FLAIR magnetic resonance.
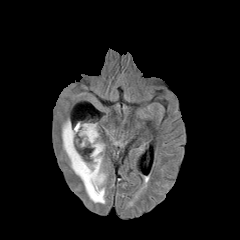
T1-weighted MR.
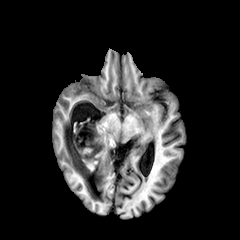
Post-contrast T1-weighted MR.
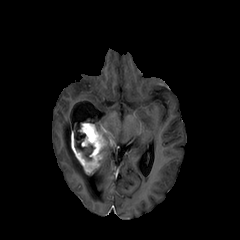
T2-weighted MRI.
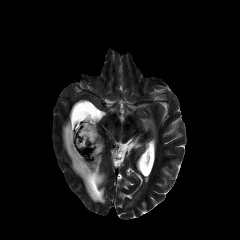
Axial slice; Brain
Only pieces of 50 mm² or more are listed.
<segmentation>
  <enhancing_tumor>70,123,106,175</enhancing_tumor>
  <necrotic_tumor_core>74,130,93,159</necrotic_tumor_core>
  <peritumoral_edema>62,119,107,203; 107,130,117,143</peritumoral_edema>
</segmentation>